Brain
FLAIR MRI.
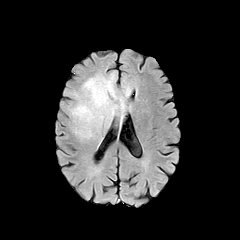
T1-weighted MRI.
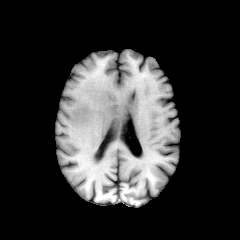
Post-contrast T1-weighted MRI.
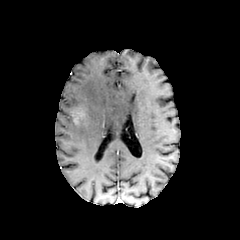
T2-weighted MR image.
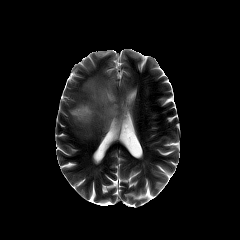
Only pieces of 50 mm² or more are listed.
peritumoral edema at box(70, 74, 125, 137)
enhancing tumor at box(72, 107, 86, 123)